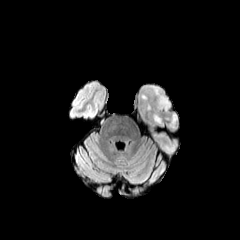
FLAIR magnetic resonance.
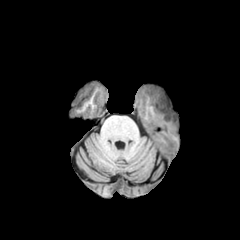
T1-weighted magnetic resonance.
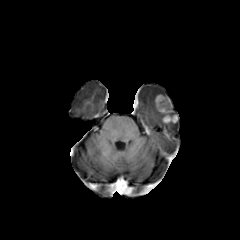
Post-contrast T1-weighted MRI.
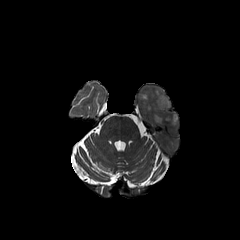
T2-weighted MRI of the same slice.
240x240; Axial view
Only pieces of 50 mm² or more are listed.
* enhancing tumor: box(154, 94, 177, 123)
* peritumoral edema: box(153, 112, 163, 124); box(152, 87, 165, 95)